FLAIR MRI.
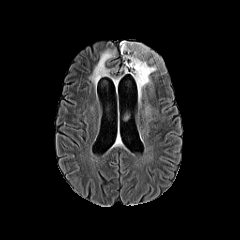
T1-weighted MR.
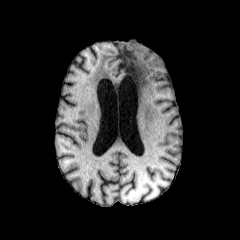
Post-contrast T1-weighted MR.
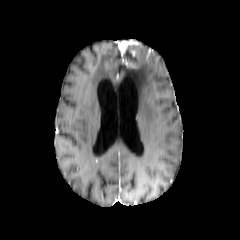
T2-weighted magnetic resonance.
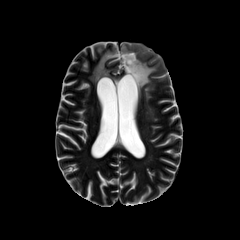
Axial view. Brain.
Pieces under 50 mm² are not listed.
necrotic tumor core: box(123, 46, 136, 63)
enhancing tumor: box(120, 41, 141, 68)
peritumoral edema: box(90, 50, 115, 84); box(121, 44, 156, 103)